Slice 73/155; Brain
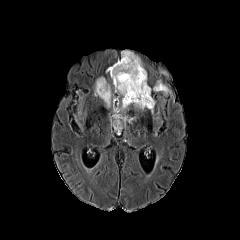
FLAIR MRI.
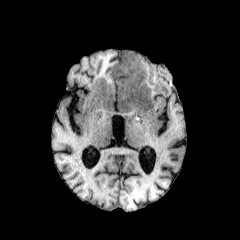
T1-weighted MRI of the same slice.
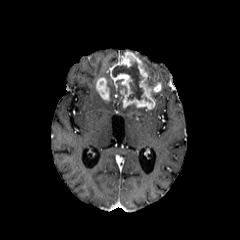
Post-contrast T1-weighted MR of the same slice.
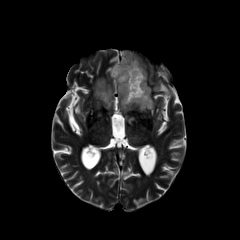
Same slice, T2-weighted MRI.
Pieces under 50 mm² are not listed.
peritumoral edema: bbox(104, 79, 126, 112); bbox(158, 80, 170, 95) | enhancing tumor: bbox(96, 77, 109, 101); bbox(107, 51, 161, 109) | necrotic tumor core: bbox(112, 62, 143, 99)